240x240 px, Head
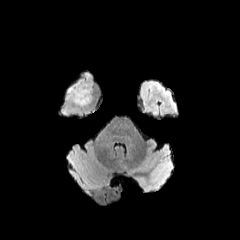
FLAIR magnetic resonance.
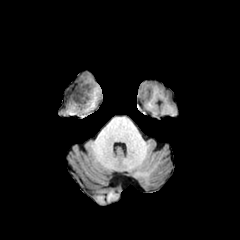
T1-weighted magnetic resonance.
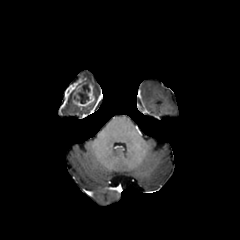
Same slice, post-contrast T1-weighted MR.
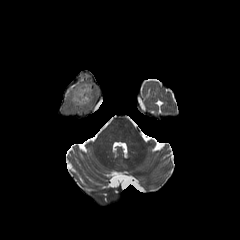
T2-weighted magnetic resonance of the same slice.
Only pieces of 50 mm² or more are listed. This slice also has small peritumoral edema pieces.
enhancing_tumor:
  - 63:77:85:105
  - 71:83:94:107
necrotic_tumor_core:
  - 73:82:89:103